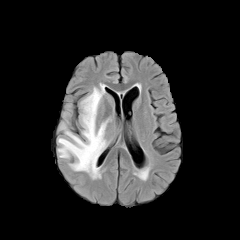
FLAIR MR.
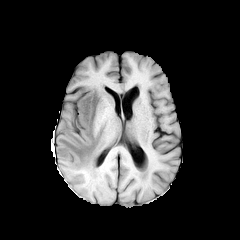
T1-weighted MRI.
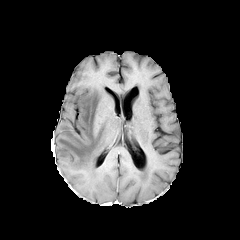
Same slice, post-contrast T1-weighted MRI.
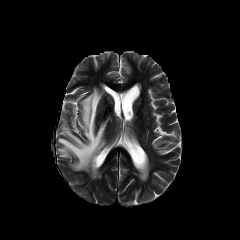
T2-weighted MRI.
Axial view; 240x240
- peritumoral edema: [x1=58, y1=83, x2=108, y2=178]